Axial plane; Slice 88/155; Head
FLAIR MRI.
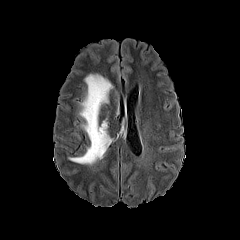
T1-weighted magnetic resonance.
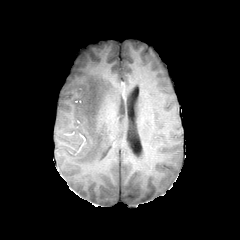
Post-contrast T1-weighted magnetic resonance.
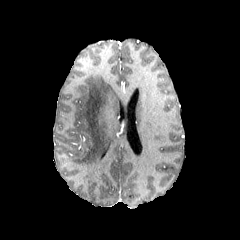
T2-weighted MR image.
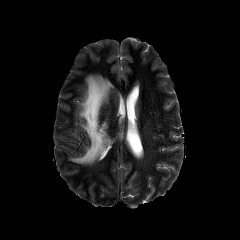
{
  "peritumoral_edema": [
    {"x1": 69, "y1": 74, "x2": 112, "y2": 164}
  ]
}